FLAIR MRI.
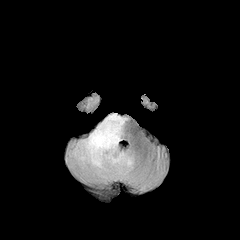
T1-weighted magnetic resonance.
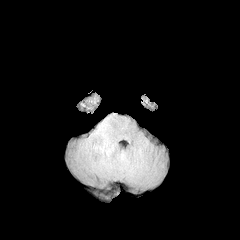
Post-contrast T1-weighted MR image.
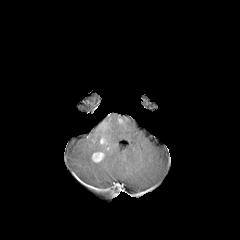
T2-weighted magnetic resonance.
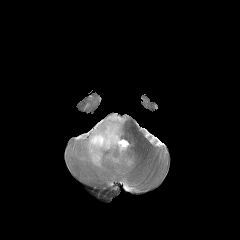
Head, Axial plane
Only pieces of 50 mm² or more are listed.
peritumoral edema = [x1=67, y1=113, x2=134, y2=179]
enhancing tumor = [x1=99, y1=136, x2=107, y2=144], [x1=91, y1=151, x2=104, y2=162]